FLAIR MR image.
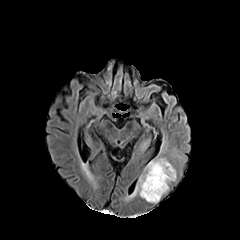
T1-weighted MR.
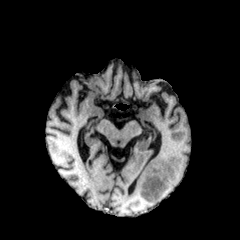
Post-contrast T1-weighted MR.
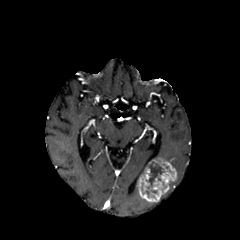
T2-weighted MR.
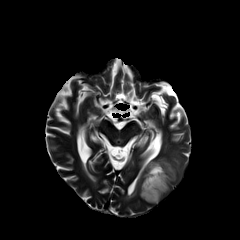
Axial view; Head
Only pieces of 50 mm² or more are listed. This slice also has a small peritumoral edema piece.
necrotic tumor core: bounding box <bbox>146, 162, 161, 188</bbox>
enhancing tumor: bounding box <bbox>137, 158, 176, 202</bbox>